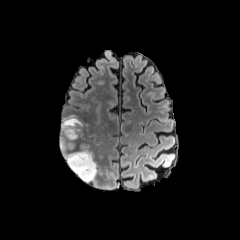
FLAIR MRI.
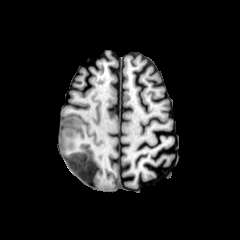
T1-weighted MR.
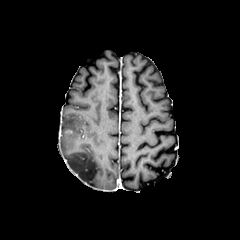
Same slice, post-contrast T1-weighted MR image.
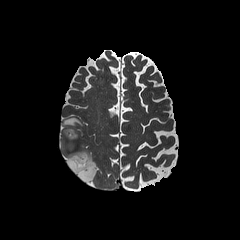
Same slice, T2-weighted MRI.
Head.
{
  "enhancing_tumor": [
    "62:127:80:153"
  ],
  "peritumoral_edema": [
    "60:139:97:182",
    "61:115:85:139"
  ]
}